FLAIR MR.
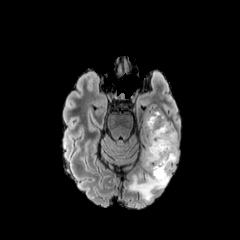
T1-weighted MR image.
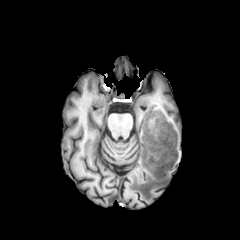
Post-contrast T1-weighted MRI.
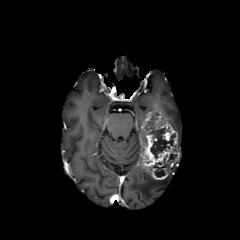
T2-weighted MRI.
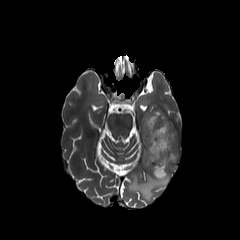
Head
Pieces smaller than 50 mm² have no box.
The enhancing tumor lies within bbox(140, 109, 179, 179). The 2 largest necrotic tumor core regions are bounded by bbox(148, 112, 175, 158); bbox(152, 153, 176, 177). 2 peritumoral edema regions are bounded by bbox(169, 122, 179, 151); bbox(129, 162, 176, 200).